Axial view | Slice 36/155 | Brain
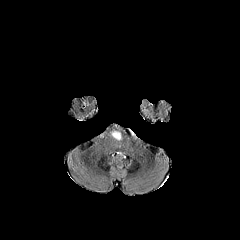
FLAIR magnetic resonance.
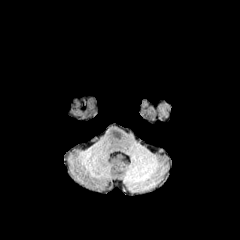
T1-weighted MR image of the same slice.
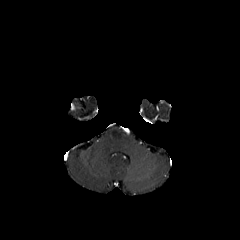
Same slice, post-contrast T1-weighted MR.
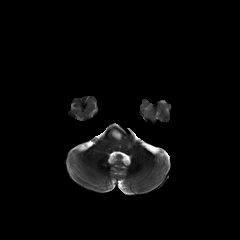
T2-weighted MRI of the same slice.
The peritumoral edema is located at 111:130:121:140.